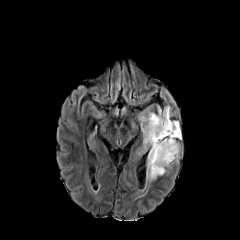
FLAIR magnetic resonance.
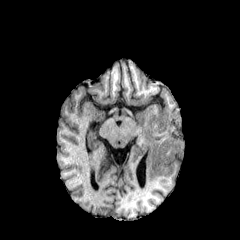
Same slice, T1-weighted MR.
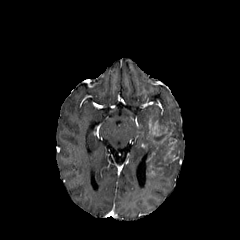
Post-contrast T1-weighted magnetic resonance.
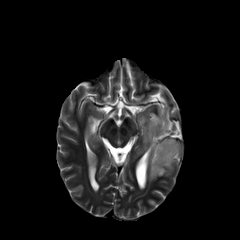
T2-weighted MR image of the same slice.
Image size 240x240. Head.
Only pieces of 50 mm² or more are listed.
peritumoral edema: {"x1": 139, "y1": 106, "x2": 180, "y2": 181}, {"x1": 174, "y1": 141, "x2": 179, "y2": 157} | necrotic tumor core: {"x1": 147, "y1": 121, "x2": 172, "y2": 174} | enhancing tumor: {"x1": 149, "y1": 118, "x2": 163, "y2": 135}, {"x1": 164, "y1": 138, "x2": 176, "y2": 160}